Brain. Axial slice.
FLAIR MRI.
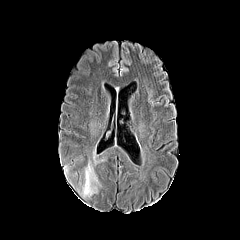
T1-weighted MR image.
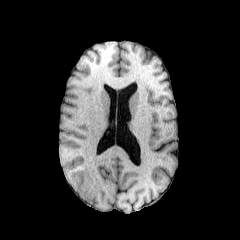
Post-contrast T1-weighted magnetic resonance.
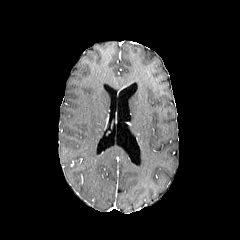
T2-weighted MR.
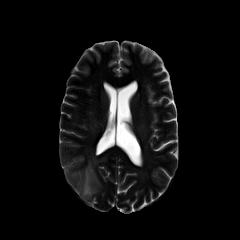
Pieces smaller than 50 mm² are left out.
peritumoral_edema:
  - (x1=81, y1=162, x2=99, y2=197)